FLAIR MRI.
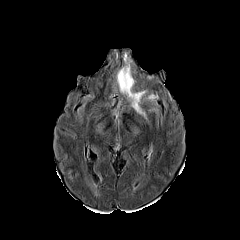
T1-weighted MR image.
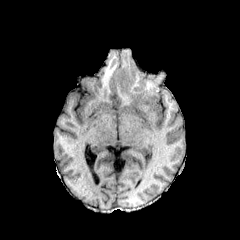
Post-contrast T1-weighted MR.
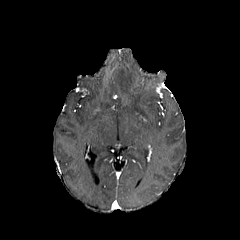
T2-weighted MR.
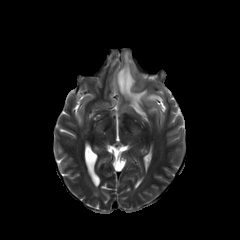
Image size 240x240. Brain. Axial slice.
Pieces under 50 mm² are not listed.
The largest peritumoral edema region lies within (x1=116, y1=52, x2=146, y2=118).